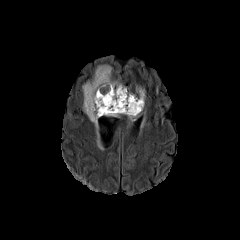
FLAIR magnetic resonance.
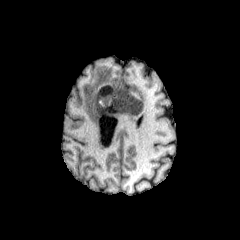
T1-weighted MRI.
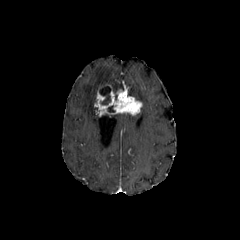
Post-contrast T1-weighted MR image of the same slice.
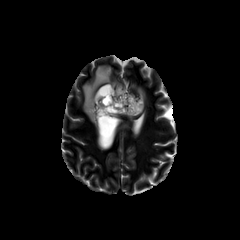
T2-weighted MR.
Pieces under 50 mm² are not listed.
The largest necrotic tumor core region lies within <bbox>99, 85, 110, 104</bbox>. The enhancing tumor appears at <bbox>94, 85, 142, 116</bbox>. The 2 largest peritumoral edema regions appear at <bbox>110, 87, 145, 121</bbox>, <bbox>82, 65, 123, 128</bbox>.